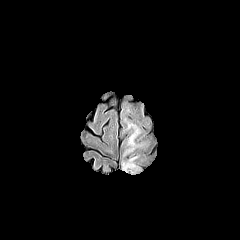
FLAIR magnetic resonance.
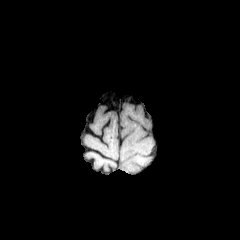
T1-weighted MRI of the same slice.
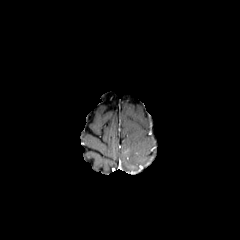
Same slice, post-contrast T1-weighted MR.
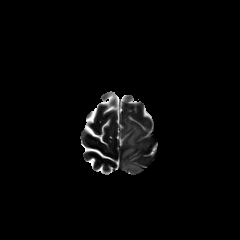
Same slice, T2-weighted MR image.
Image size 240x240, Axial plane, Head
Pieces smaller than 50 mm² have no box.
{"enhancing_tumor": ["124,162,136,169"], "peritumoral_edema": ["126,153,139,165", "121,161,141,174", "123,117,147,152"]}